Brain.
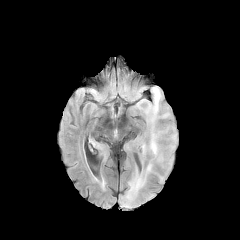
FLAIR MR image.
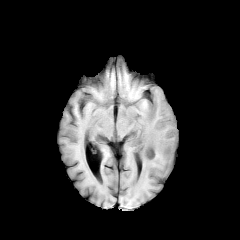
T1-weighted magnetic resonance.
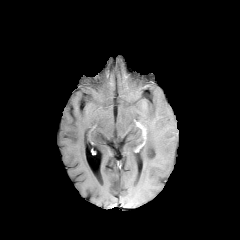
Post-contrast T1-weighted magnetic resonance.
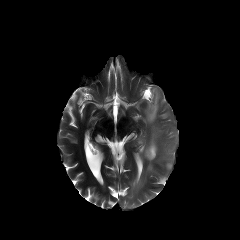
T2-weighted magnetic resonance.
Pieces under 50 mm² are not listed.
peritumoral edema: left=142, top=126, right=158, bottom=156; left=132, top=177, right=144, bottom=190; left=146, top=106, right=157, bottom=123